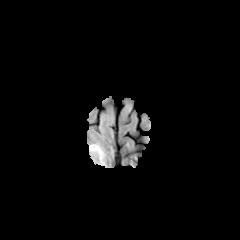
FLAIR MR.
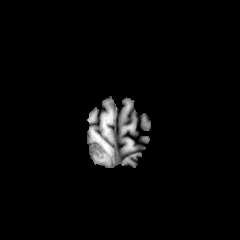
T1-weighted MR image.
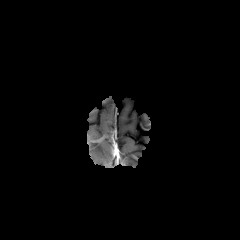
Same slice, post-contrast T1-weighted MR image.
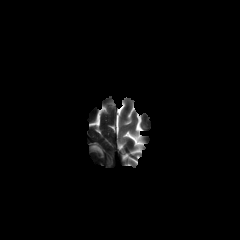
T2-weighted MR.
Axial slice; Head; Image size 240x240
peritumoral edema: bounding box (90, 145, 103, 157)